FLAIR MRI.
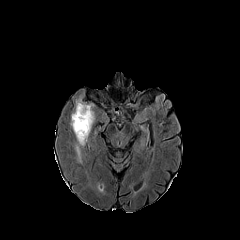
T1-weighted magnetic resonance.
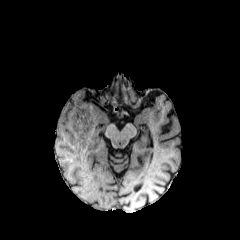
Post-contrast T1-weighted magnetic resonance.
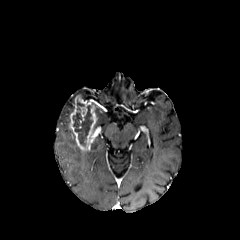
T2-weighted MR.
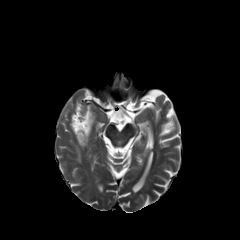
Brain; Axial slice
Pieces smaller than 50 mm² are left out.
The largest peritumoral edema region is bounded by x1=75, y1=144, x2=81, y2=162. The largest enhancing tumor region is located at x1=69, y1=95, x2=96, y2=150. The largest necrotic tumor core region is at x1=73, y1=105, x2=92, y2=144.